Image width 240 mm, 1.00 mm slice spacing | Brain
FLAIR MR.
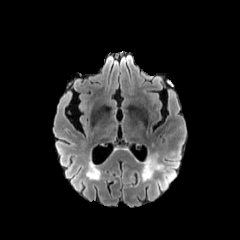
T1-weighted magnetic resonance.
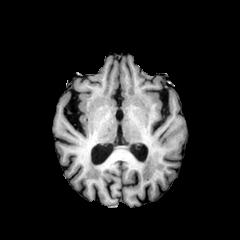
Post-contrast T1-weighted MR image.
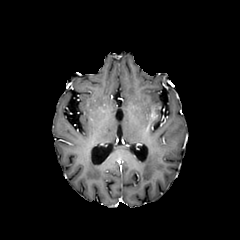
T2-weighted magnetic resonance.
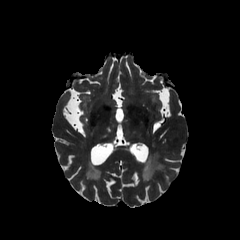
{
  "peritumoral_edema": [
    "rect(141, 154, 164, 181)"
  ]
}